FLAIR MR image.
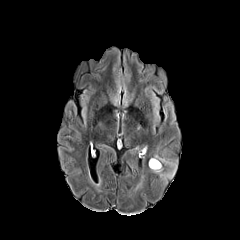
T1-weighted magnetic resonance.
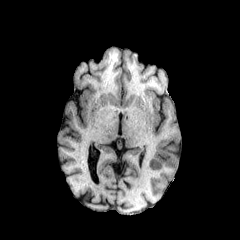
Post-contrast T1-weighted MR image.
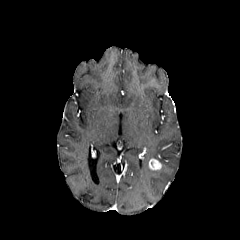
T2-weighted MRI.
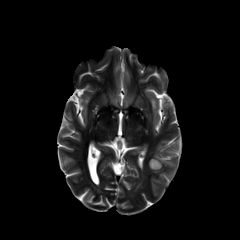
Axial slice
<segmentation>
  <peritumoral_edema>x1=151, y1=154, x2=176, y2=180</peritumoral_edema>
  <enhancing_tumor>x1=149, y1=158, x2=161, y2=170</enhancing_tumor>
</segmentation>